Brain; 240x240
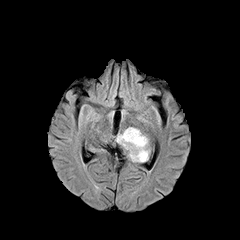
FLAIR magnetic resonance.
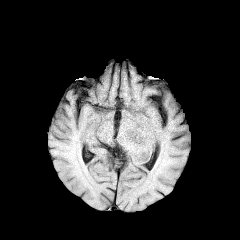
T1-weighted MR.
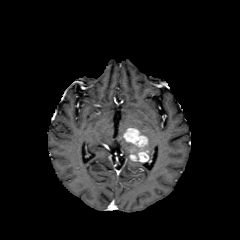
Same slice, post-contrast T1-weighted magnetic resonance.
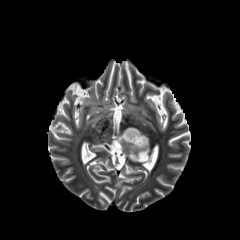
T2-weighted magnetic resonance.
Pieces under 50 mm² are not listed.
* peritumoral edema: (left=116, top=132, right=131, bottom=154)
* enhancing tumor: (left=119, top=128, right=148, bottom=162)